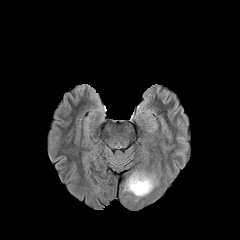
FLAIR magnetic resonance.
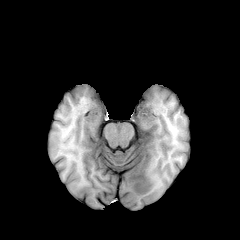
T1-weighted MR image of the same slice.
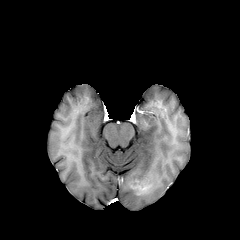
Post-contrast T1-weighted MR image of the same slice.
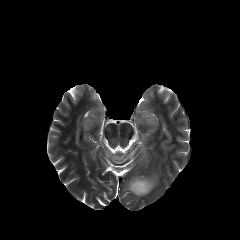
T2-weighted MRI of the same slice.
Brain.
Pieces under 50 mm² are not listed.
peritumoral edema at [124, 171, 156, 196]
enhancing tumor at [130, 179, 151, 194]